Slice 102 of 155
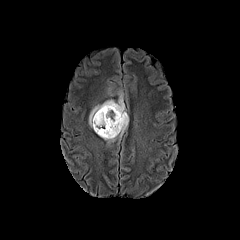
FLAIR MRI.
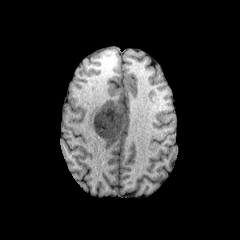
Same slice, T1-weighted MR.
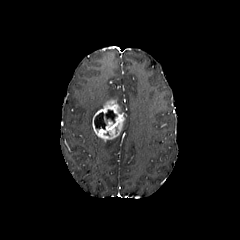
Same slice, post-contrast T1-weighted MR.
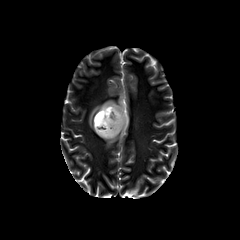
Same slice, T2-weighted MR image.
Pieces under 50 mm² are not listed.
peritumoral edema — box=[117, 92, 126, 113]; box=[89, 101, 106, 127]; box=[107, 114, 129, 144]
necrotic tumor core — box=[94, 110, 116, 129]
enhancing tumor — box=[92, 100, 126, 140]